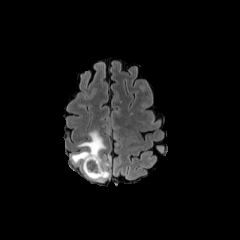
FLAIR MR.
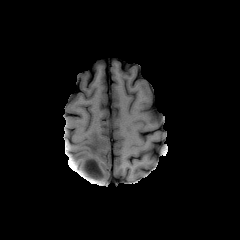
T1-weighted magnetic resonance.
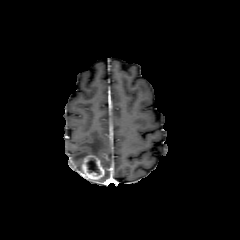
Post-contrast T1-weighted magnetic resonance of the same slice.
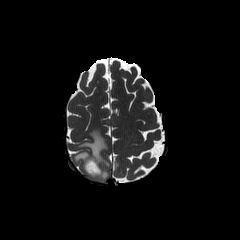
T2-weighted MR image.
Head
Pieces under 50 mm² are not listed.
The necrotic tumor core is bounded by x1=86 y1=158 x2=100 y2=174. The largest peritumoral edema region lies within x1=71 y1=130 x2=110 y2=182. The enhancing tumor is bounded by x1=82 y1=155 x2=104 y2=180.